Axial view
FLAIR magnetic resonance.
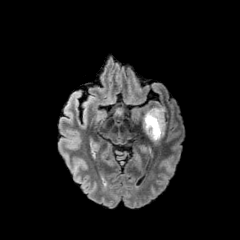
T1-weighted magnetic resonance.
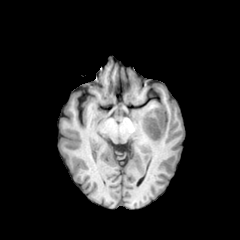
Post-contrast T1-weighted magnetic resonance.
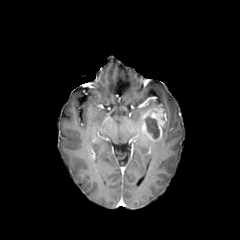
T2-weighted MR.
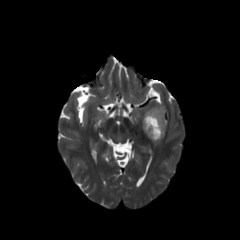
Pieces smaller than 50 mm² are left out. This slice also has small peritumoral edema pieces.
enhancing tumor — x1=140, y1=105, x2=166, y2=142
necrotic tumor core — x1=145, y1=117, x2=159, y2=138